Image covers 240 mm x 240 mm; Slice index 112; 240x240; Axial view; Head
FLAIR magnetic resonance.
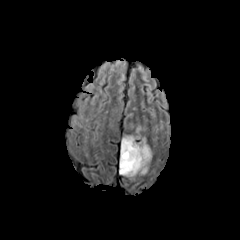
T1-weighted MR.
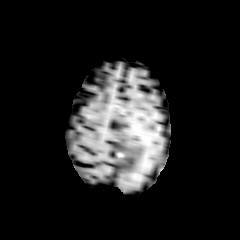
Post-contrast T1-weighted MRI.
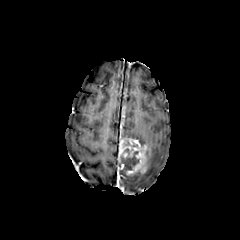
T2-weighted magnetic resonance.
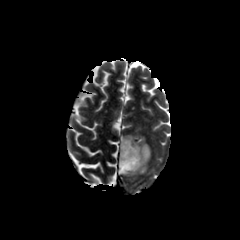
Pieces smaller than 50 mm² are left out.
- peritumoral edema: 138:156:151:173
- necrotic tumor core: 121:151:139:171
- enhancing tumor: 118:137:151:178